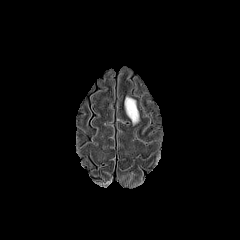
FLAIR magnetic resonance.
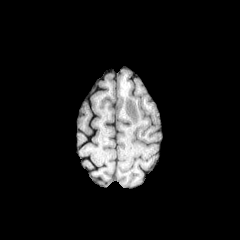
T1-weighted MR.
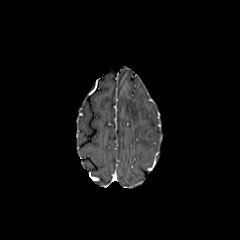
Post-contrast T1-weighted MRI of the same slice.
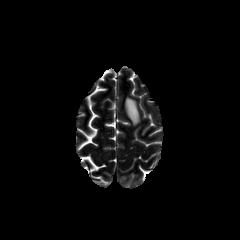
T2-weighted magnetic resonance.
Image size 240x240
Findings:
* peritumoral edema: (125,97,139,124)